Brain, Slice 36/155
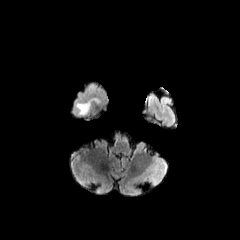
FLAIR MRI.
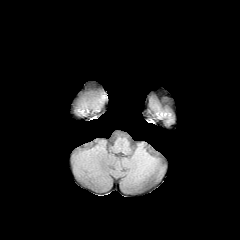
Same slice, T1-weighted MR.
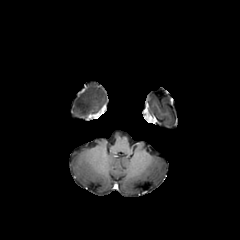
Post-contrast T1-weighted magnetic resonance.
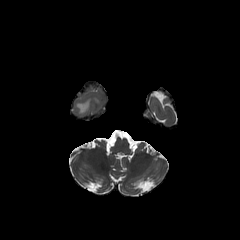
T2-weighted MR image.
The peritumoral edema lies within region(75, 98, 100, 115).